FLAIR MR.
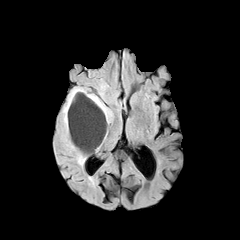
T1-weighted MRI.
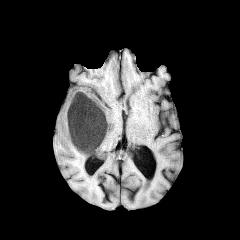
Post-contrast T1-weighted magnetic resonance.
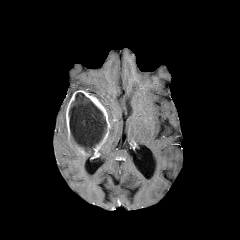
T2-weighted MR image.
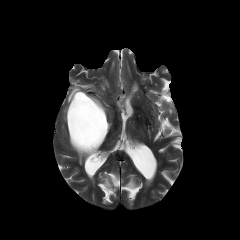
Image size 240x240 | Axial slice
necrotic tumor core: rect(68, 92, 106, 152) | enhancing tumor: rect(66, 90, 110, 154) | peritumoral edema: rect(61, 86, 93, 165); rect(89, 93, 112, 124); rect(98, 83, 107, 96)